Image size 240x240, Axial slice, Brain
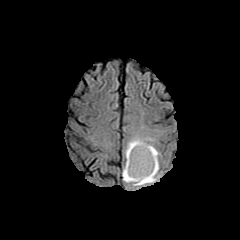
FLAIR magnetic resonance.
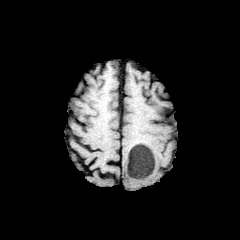
T1-weighted MRI of the same slice.
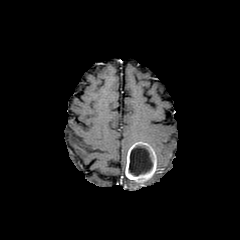
Post-contrast T1-weighted MRI.
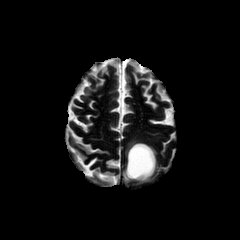
T2-weighted magnetic resonance of the same slice.
2 peritumoral edema regions are located at (left=124, top=135, right=153, bottom=163), (left=122, top=144, right=160, bottom=186). The necrotic tumor core is bounded by (left=129, top=145, right=152, bottom=175). The enhancing tumor is bounded by (left=125, top=142, right=156, bottom=182).